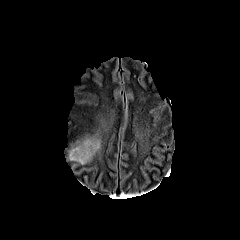
FLAIR MR.
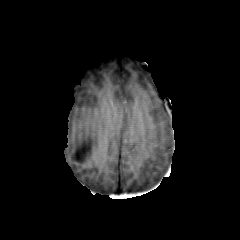
T1-weighted magnetic resonance.
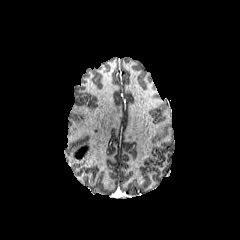
Same slice, post-contrast T1-weighted MR.
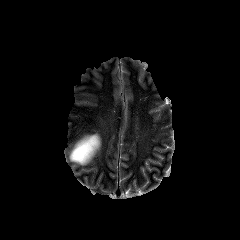
T2-weighted MRI.
Axial plane, 240x240 px, Head
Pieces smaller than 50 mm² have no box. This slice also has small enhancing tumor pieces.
The peritumoral edema appears at region(68, 133, 101, 164). The necrotic tumor core appears at region(73, 143, 89, 159).